FLAIR magnetic resonance.
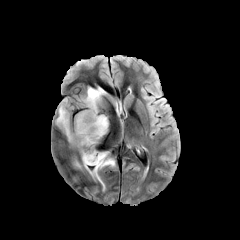
T1-weighted magnetic resonance.
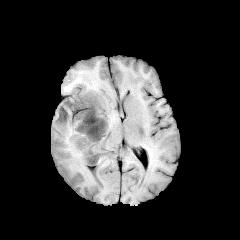
Post-contrast T1-weighted magnetic resonance.
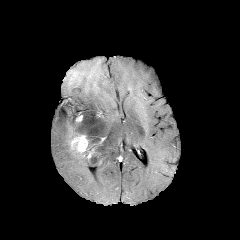
T2-weighted MR image.
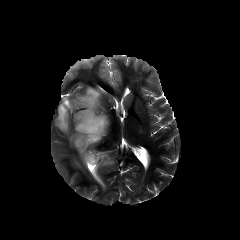
240x240 px.
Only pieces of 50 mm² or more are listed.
enhancing_tumor:
  - region(71, 135, 88, 152)
peritumoral_edema:
  - region(55, 86, 114, 181)